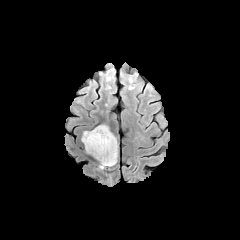
FLAIR MR.
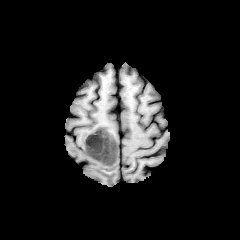
Same slice, T1-weighted MRI.
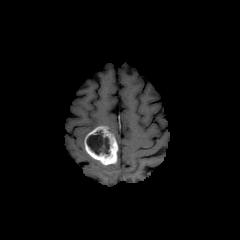
Post-contrast T1-weighted MRI.
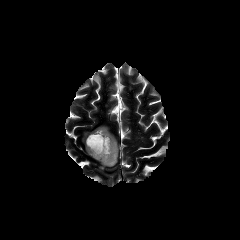
T2-weighted MR.
Axial slice
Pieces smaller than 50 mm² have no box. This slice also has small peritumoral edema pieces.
The enhancing tumor is located at [84,126,118,165]. The necrotic tumor core is located at [87,130,109,154].